FLAIR MR image.
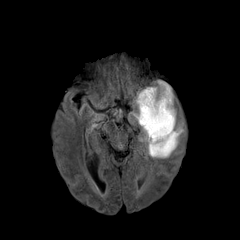
T1-weighted magnetic resonance.
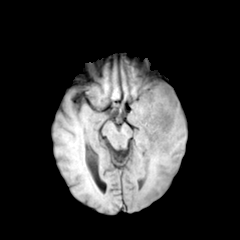
Post-contrast T1-weighted MRI.
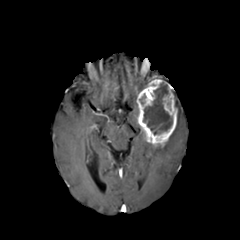
T2-weighted MR.
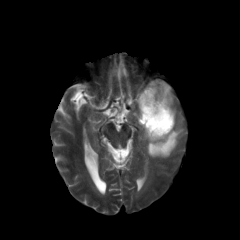
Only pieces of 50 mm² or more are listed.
The largest necrotic tumor core region is bounded by 143 83 172 134. The enhancing tumor is at 136 79 177 147. The 2 largest peritumoral edema regions appear at 130 99 138 120, 139 122 184 158.